FLAIR magnetic resonance.
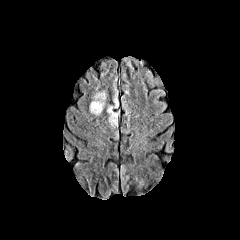
T1-weighted magnetic resonance.
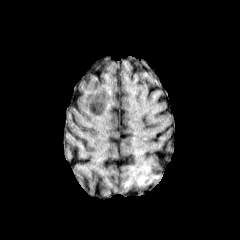
Post-contrast T1-weighted MR.
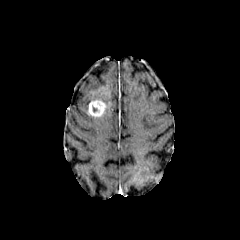
T2-weighted magnetic resonance.
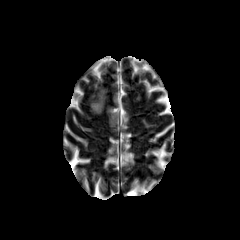
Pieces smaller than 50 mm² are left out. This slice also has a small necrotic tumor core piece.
Findings:
• peritumoral edema: l=106, t=96, r=118, b=126; l=94, t=91, r=106, b=101
• enhancing tumor: l=88, t=99, r=105, b=116